Brain.
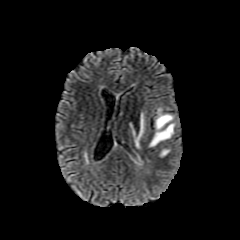
FLAIR MRI.
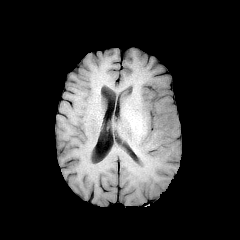
T1-weighted magnetic resonance.
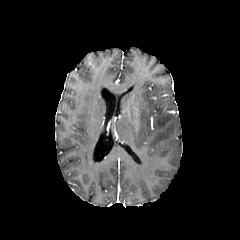
Post-contrast T1-weighted MRI of the same slice.
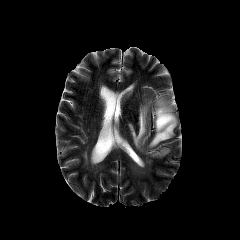
T2-weighted magnetic resonance.
3 peritumoral edema regions are located at [130,111,145,148], [159,149,169,156], [149,107,176,147].